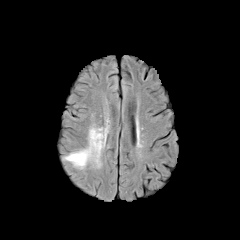
FLAIR magnetic resonance.
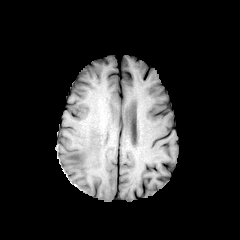
T1-weighted MR.
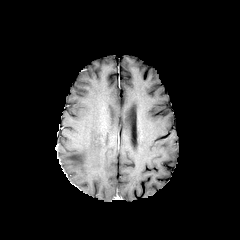
Post-contrast T1-weighted MR image.
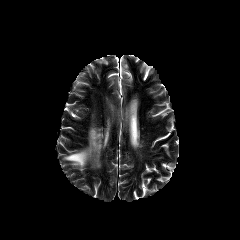
T2-weighted MRI.
Axial plane.
peritumoral edema at 63:128:107:168